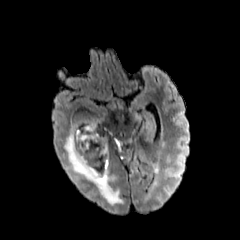
FLAIR MRI.
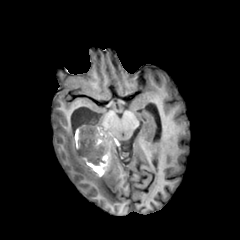
T1-weighted MRI.
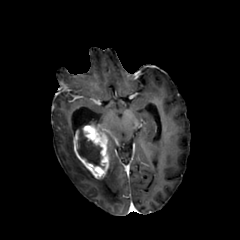
Same slice, post-contrast T1-weighted MR image.
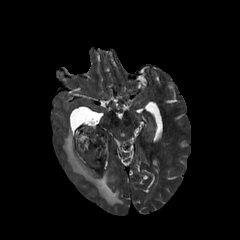
T2-weighted MR.
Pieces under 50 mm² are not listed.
{
  "peritumoral_edema": [
    "[64,125,123,205]"
  ],
  "enhancing_tumor": [
    "[73,124,109,178]"
  ],
  "necrotic_tumor_core": [
    "[77,131,104,168]"
  ]
}